Slice index 64. Axial view. Head.
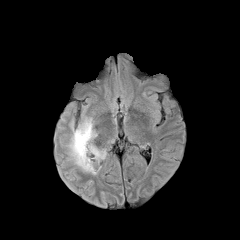
FLAIR MRI.
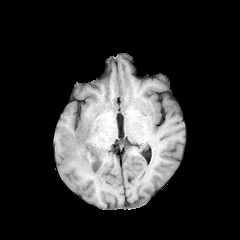
T1-weighted MRI.
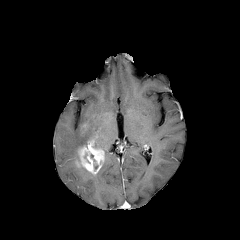
Post-contrast T1-weighted magnetic resonance.
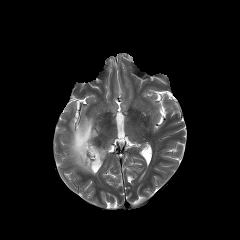
T2-weighted MR image of the same slice.
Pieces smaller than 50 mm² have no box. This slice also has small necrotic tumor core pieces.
Annotated regions:
• enhancing tumor: (x1=76, y1=141, x2=104, y2=174)
• peritumoral edema: (x1=67, y1=116, x2=97, y2=165)